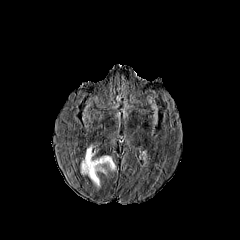
FLAIR MR image.
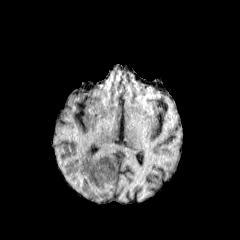
T1-weighted magnetic resonance of the same slice.
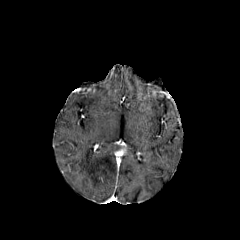
Same slice, post-contrast T1-weighted MR image.
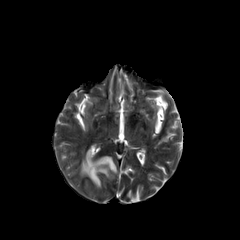
Same slice, T2-weighted MR.
Axial plane
The peritumoral edema is located at <bbox>81, 147, 115, 187</bbox>.